Image width 240 mm, 1.00 mm slice spacing. Brain.
FLAIR MR.
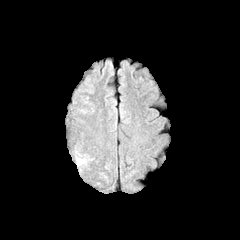
T1-weighted MR.
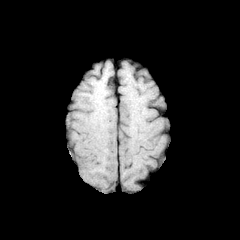
Post-contrast T1-weighted magnetic resonance.
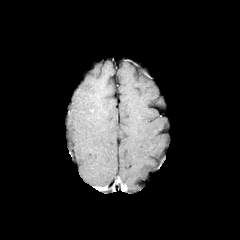
T2-weighted MRI.
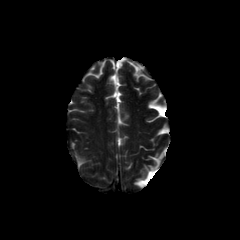
peritumoral edema: l=77, t=158, r=85, b=165